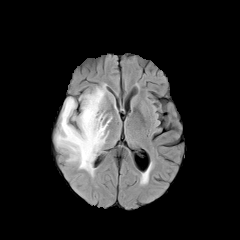
FLAIR magnetic resonance.
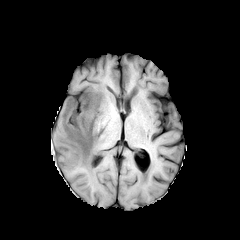
T1-weighted MR image of the same slice.
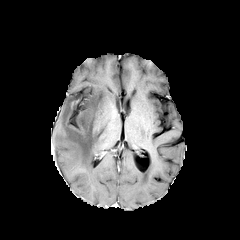
Post-contrast T1-weighted MR image.
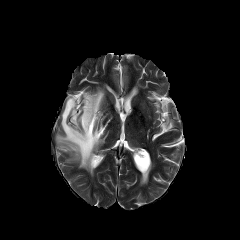
T2-weighted MR.
Axial view
peritumoral edema = <bbox>55, 84, 111, 176</bbox>